FLAIR MR.
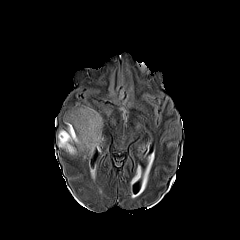
T1-weighted MR.
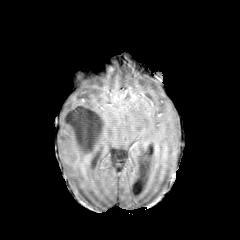
Post-contrast T1-weighted MR.
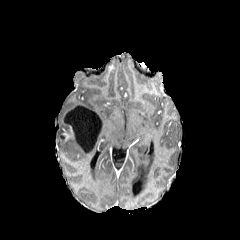
T2-weighted MR image.
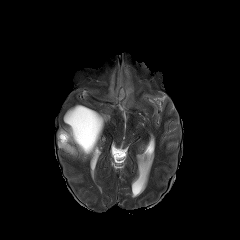
Head, 240x240, Axial view
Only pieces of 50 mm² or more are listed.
necrotic_tumor_core:
  - 65:106:101:153
enhancing_tumor:
  - 63:127:72:141
peritumoral_edema:
  - 58:104:103:159